FLAIR MRI.
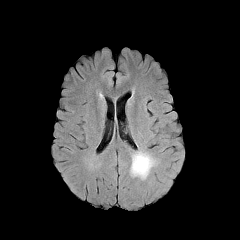
T1-weighted magnetic resonance.
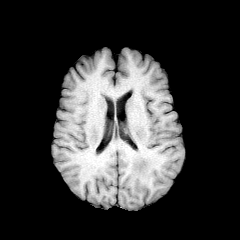
Post-contrast T1-weighted MR image.
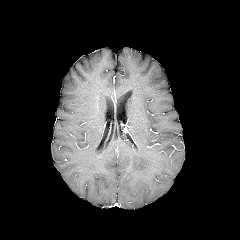
T2-weighted MR.
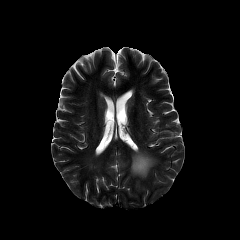
Image size 240x240
{"peritumoral_edema": [{"x1": 131, "y1": 151, "x2": 155, "y2": 178}]}